Axial slice
FLAIR MR.
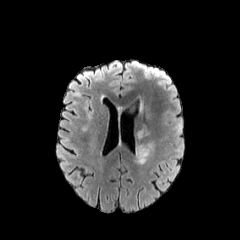
T1-weighted MR.
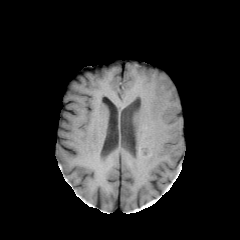
Post-contrast T1-weighted MRI.
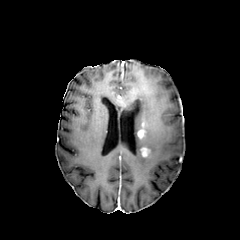
T2-weighted magnetic resonance.
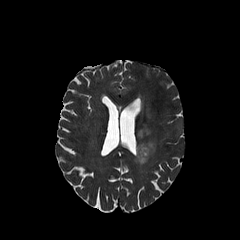
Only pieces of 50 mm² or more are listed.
• enhancing tumor: <bbox>138, 129, 144, 138</bbox>, <bbox>141, 147, 149, 156</bbox>
• peritumoral edema: <bbox>136, 143, 154, 164</bbox>